Axial slice | Image width 240 mm | Slice index 73
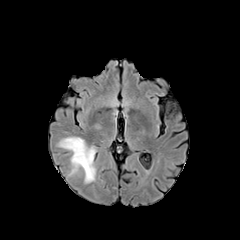
FLAIR MR image.
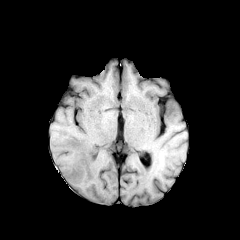
T1-weighted MR image of the same slice.
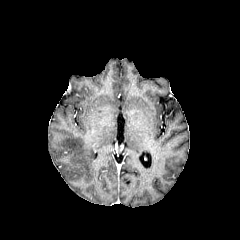
Post-contrast T1-weighted MR image.
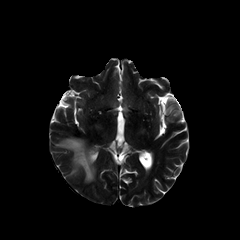
Same slice, T2-weighted MRI.
peritumoral edema — box=[57, 137, 95, 182]